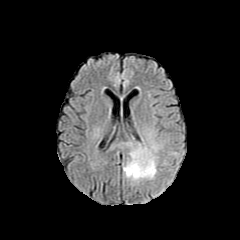
FLAIR MRI.
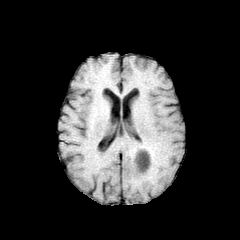
T1-weighted MRI.
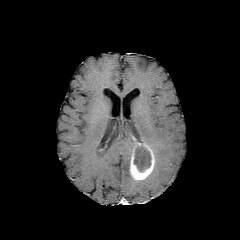
Post-contrast T1-weighted MR image.
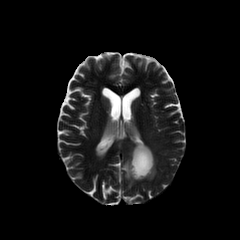
T2-weighted MRI.
Head. 240x240. Axial view.
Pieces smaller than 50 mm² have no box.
{
  "enhancing_tumor": [
    "bbox(130, 143, 154, 180)"
  ],
  "peritumoral_edema": [
    "bbox(106, 141, 139, 184)",
    "bbox(144, 140, 159, 179)"
  ],
  "necrotic_tumor_core": [
    "bbox(134, 146, 150, 170)"
  ]
}